Slice 88/155. Axial plane. Image covers 240 mm x 240 mm.
FLAIR magnetic resonance.
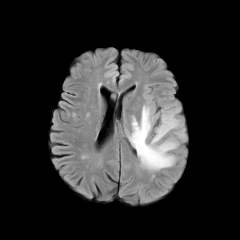
T1-weighted MR image.
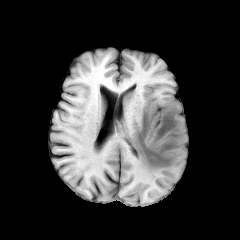
Post-contrast T1-weighted magnetic resonance.
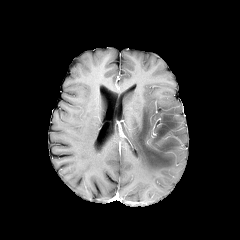
T2-weighted MRI.
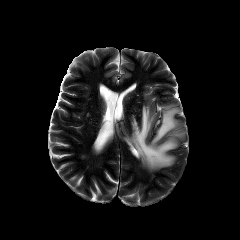
peritumoral edema: (x1=128, y1=105, x2=185, y2=171)